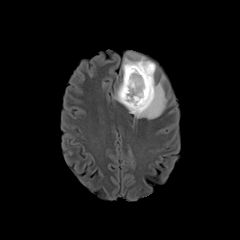
FLAIR MR image.
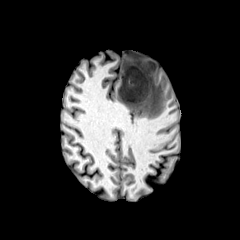
T1-weighted magnetic resonance.
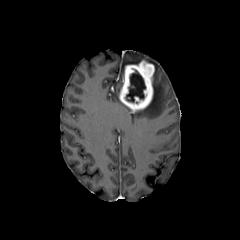
Post-contrast T1-weighted MRI.
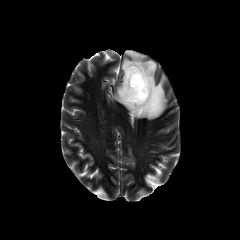
T2-weighted MRI.
240x240; Axial slice; Brain
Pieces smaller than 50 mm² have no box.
enhancing tumor: <bbox>119, 60, 154, 112</bbox>
peritumoral edema: <bbox>132, 73, 167, 119</bbox>, <bbox>122, 52, 156, 76</bbox>, <bbox>114, 83, 122, 103</bbox>
necrotic tumor core: <bbox>126, 70, 145, 102</bbox>